Brain; Slice 75 of 155
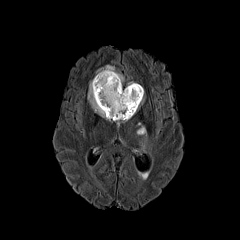
FLAIR MR image.
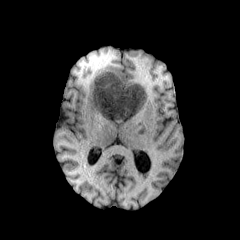
Same slice, T1-weighted MRI.
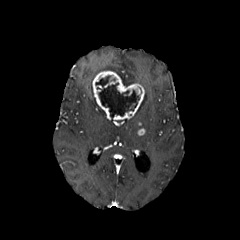
Post-contrast T1-weighted MR.
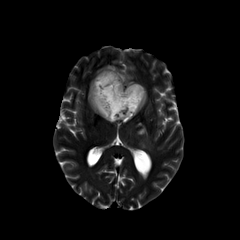
T2-weighted MR image.
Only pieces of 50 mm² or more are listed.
{"peritumoral_edema": ["rect(96, 65, 124, 84)", "rect(87, 80, 108, 119)"], "enhancing_tumor": ["rect(137, 128, 145, 135)", "rect(92, 70, 144, 120)"], "necrotic_tumor_core": ["rect(95, 75, 139, 118)"]}